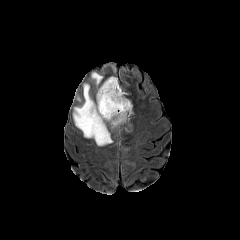
FLAIR MR.
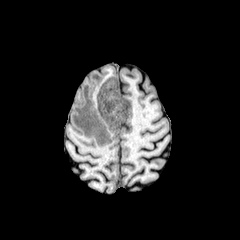
T1-weighted MR image.
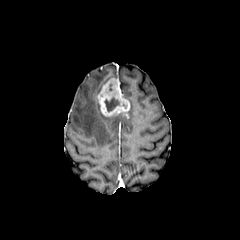
Post-contrast T1-weighted MRI.
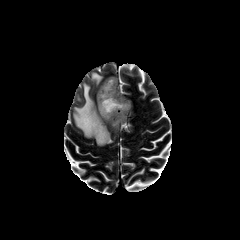
T2-weighted magnetic resonance.
Axial slice
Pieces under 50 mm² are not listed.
<segmentation>
  <necrotic_tumor_core>left=104, top=97, right=119, bottom=111</necrotic_tumor_core>
  <peritumoral_edema>left=73, top=83, right=125, bottom=145; left=91, top=72, right=102, bottom=85</peritumoral_edema>
  <enhancing_tumor>left=97, top=78, right=130, bottom=119</enhancing_tumor>
</segmentation>